Slice index 92
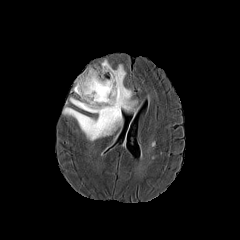
FLAIR MR image.
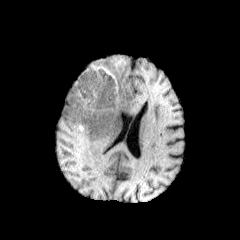
T1-weighted MR image of the same slice.
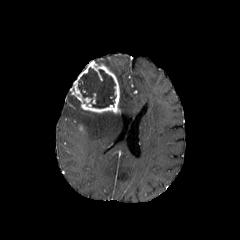
Post-contrast T1-weighted magnetic resonance.
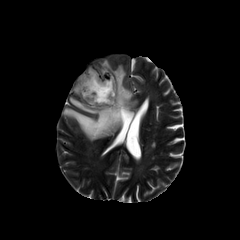
T2-weighted MRI of the same slice.
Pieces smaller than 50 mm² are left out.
enhancing_tumor:
  - rect(73, 62, 120, 113)
peritumoral_edema:
  - rect(63, 107, 122, 141)
  - rect(102, 59, 137, 112)
  - rect(69, 97, 81, 108)
necrotic_tumor_core:
  - rect(78, 67, 116, 108)